Slice 70/155. Axial slice.
FLAIR MR.
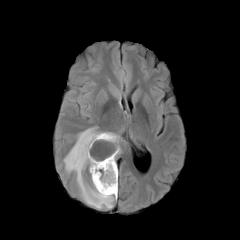
T1-weighted MRI.
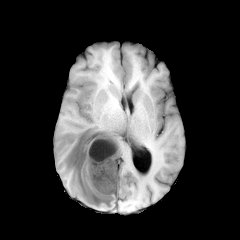
Post-contrast T1-weighted MR.
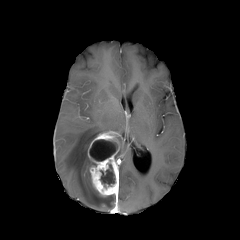
T2-weighted MR image.
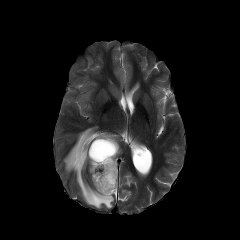
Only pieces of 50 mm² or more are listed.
The enhancing tumor is located at [88,131,119,196]. The largest peritumoral edema region is located at [63,126,116,208]. 2 necrotic tumor core regions are located at [89,139,117,161], [100,164,115,185].